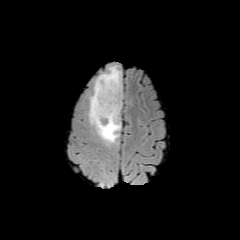
FLAIR magnetic resonance.
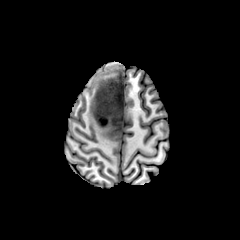
Same slice, T1-weighted MR image.
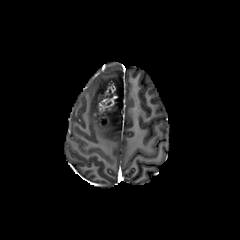
Same slice, post-contrast T1-weighted MRI.
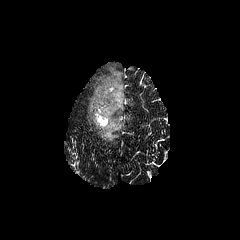
T2-weighted MRI.
Axial slice, Image size 240x240
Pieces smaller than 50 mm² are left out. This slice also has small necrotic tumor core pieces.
The enhancing tumor is located at [x1=94, y1=80, x2=118, y2=124]. The peritumoral edema appears at [x1=88, y1=65, x2=122, y2=144].